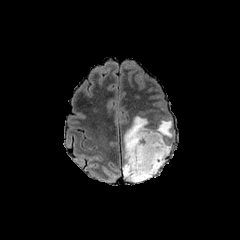
FLAIR MR.
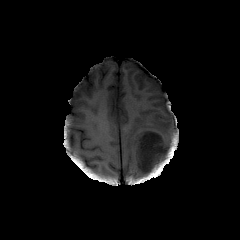
T1-weighted MR image.
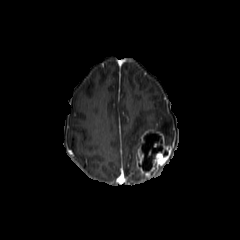
Post-contrast T1-weighted MRI.
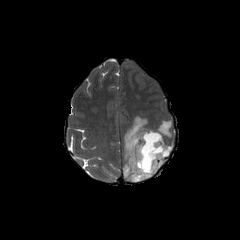
T2-weighted MR image.
Image size 240x240
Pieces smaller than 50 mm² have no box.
peritumoral edema: (left=123, top=116, right=173, bottom=182) | necrotic tumor core: (left=140, top=132, right=162, bottom=171) | enhancing tumor: (left=136, top=130, right=172, bottom=178)